FLAIR MR.
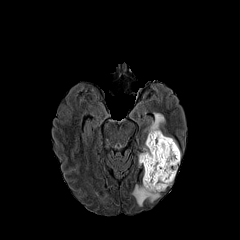
T1-weighted MRI.
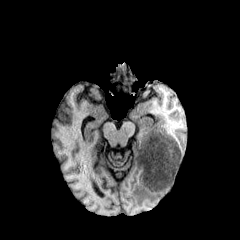
Post-contrast T1-weighted MR.
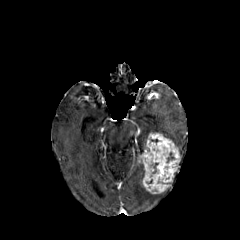
T2-weighted MRI.
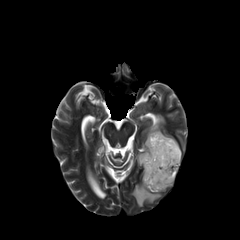
Axial view
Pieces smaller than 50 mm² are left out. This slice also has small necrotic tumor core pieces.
peritumoral edema at <box>132,184,160,206</box>, <box>145,112,165,134</box>
enhancing tumor at <box>138,132,180,193</box>